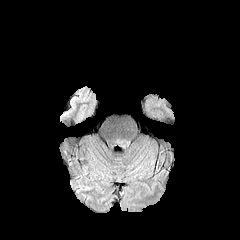
FLAIR MR.
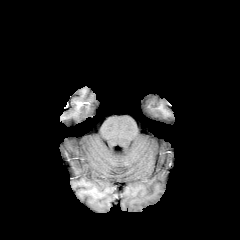
T1-weighted MR image.
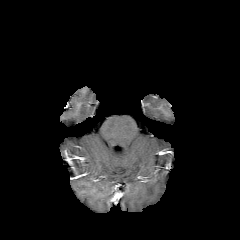
Same slice, post-contrast T1-weighted MR image.
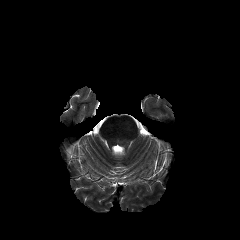
T2-weighted magnetic resonance of the same slice.
{
  "peritumoral_edema": [
    "116, 139, 130, 147"
  ]
}